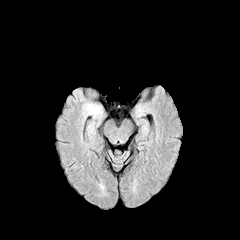
FLAIR MR.
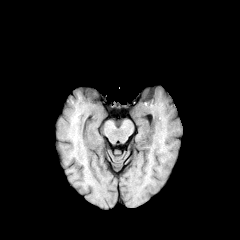
T1-weighted MRI of the same slice.
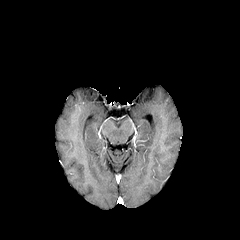
Post-contrast T1-weighted magnetic resonance of the same slice.
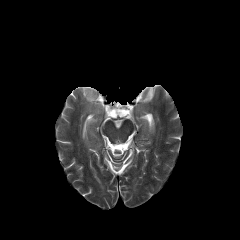
T2-weighted MRI of the same slice.
The peritumoral edema is located at [86, 104, 99, 114].